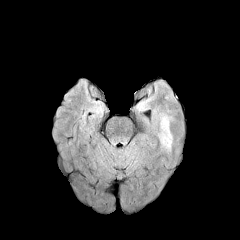
FLAIR MR.
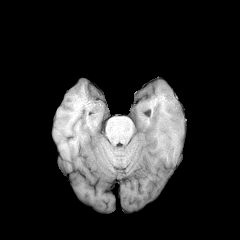
T1-weighted magnetic resonance.
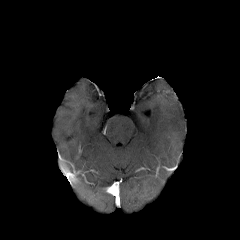
Post-contrast T1-weighted MR.
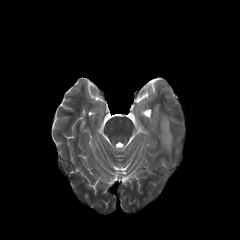
T2-weighted MRI.
Head
Annotated regions:
* peritumoral edema: 134 96 153 111, 159 114 171 149